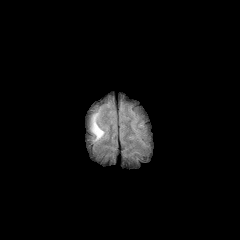
FLAIR MRI.
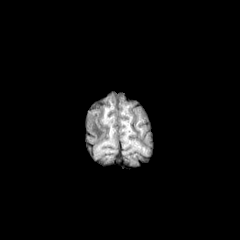
T1-weighted MRI of the same slice.
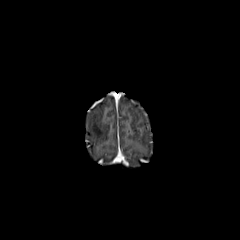
Post-contrast T1-weighted MR image.
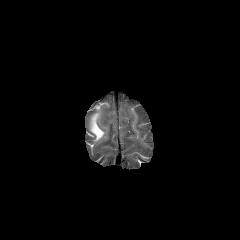
T2-weighted MR image of the same slice.
Brain
The peritumoral edema is bounded by (91, 113, 104, 140).